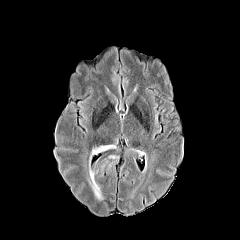
FLAIR MR.
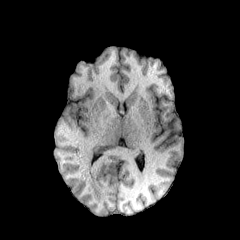
T1-weighted MR.
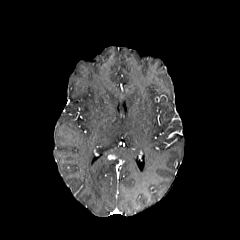
Post-contrast T1-weighted magnetic resonance.
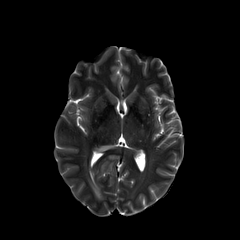
Same slice, T2-weighted MRI.
Axial view | 240x240 px
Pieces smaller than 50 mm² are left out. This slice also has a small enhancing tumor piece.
The peritumoral edema is at (left=88, top=145, right=113, bottom=200).